240x240
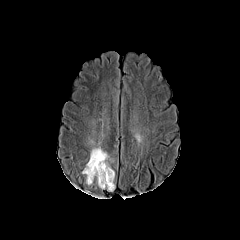
FLAIR MR.
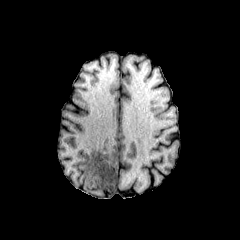
T1-weighted MR image.
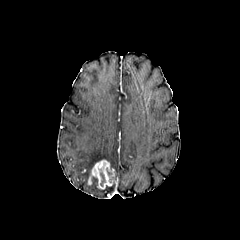
Same slice, post-contrast T1-weighted MRI.
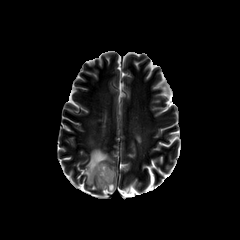
Same slice, T2-weighted MRI.
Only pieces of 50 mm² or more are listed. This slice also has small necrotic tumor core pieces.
The largest peritumoral edema region appears at <box>83,147,112,184</box>. The enhancing tumor is at <box>88,159,115,189</box>.